FLAIR MR image.
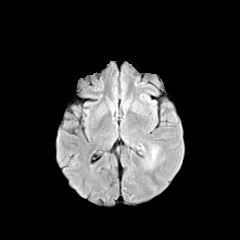
T1-weighted MR image.
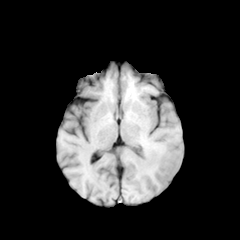
Post-contrast T1-weighted magnetic resonance.
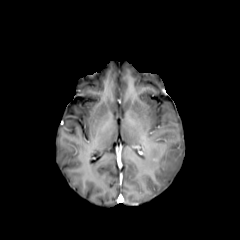
T2-weighted magnetic resonance.
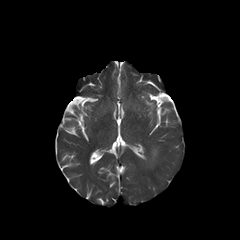
240x240 px; Brain
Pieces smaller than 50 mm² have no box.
{
  "peritumoral_edema": [
    "region(149, 148, 157, 165)"
  ]
}